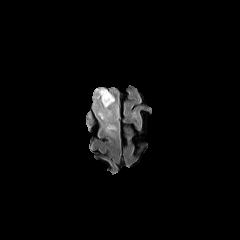
FLAIR magnetic resonance.
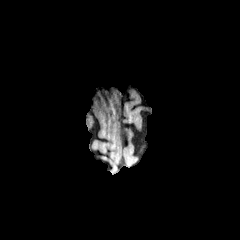
Same slice, T1-weighted MRI.
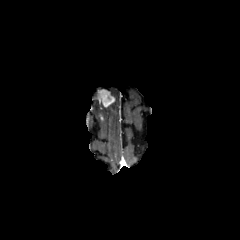
Post-contrast T1-weighted MR image of the same slice.
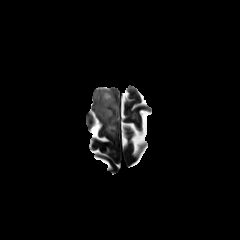
T2-weighted MR image.
Image size 240x240
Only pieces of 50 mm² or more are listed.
enhancing tumor — {"x1": 97, "y1": 89, "x2": 114, "y2": 107}
peritumoral edema — {"x1": 93, "y1": 88, "x2": 119, "y2": 135}